FLAIR magnetic resonance.
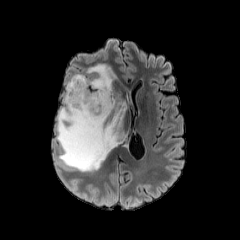
T1-weighted magnetic resonance.
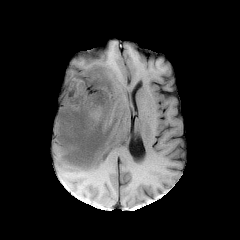
Post-contrast T1-weighted MR image.
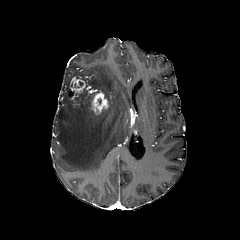
T2-weighted MRI.
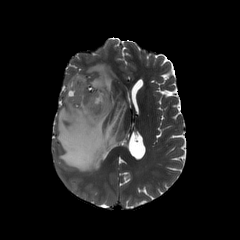
Axial view, Image size 240x240, Head
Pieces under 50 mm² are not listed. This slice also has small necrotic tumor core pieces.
enhancing tumor: box(70, 77, 109, 115)
peritumoral edema: box(56, 64, 126, 171)